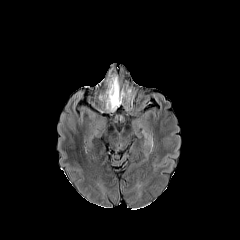
FLAIR magnetic resonance.
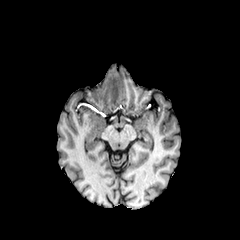
T1-weighted MRI.
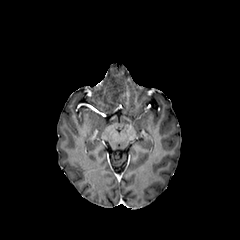
Post-contrast T1-weighted MR image of the same slice.
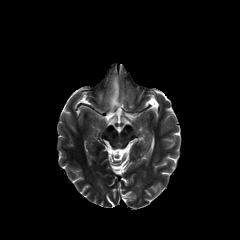
T2-weighted MR.
Axial view | Head | 240x240 px
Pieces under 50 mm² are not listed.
peritumoral_edema:
  - left=107, top=76, right=123, bottom=110